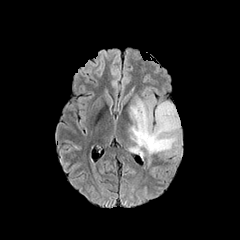
FLAIR magnetic resonance.
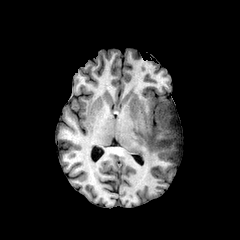
T1-weighted MR.
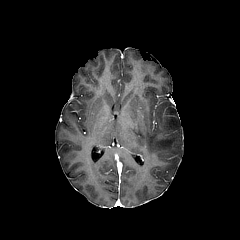
Post-contrast T1-weighted MRI.
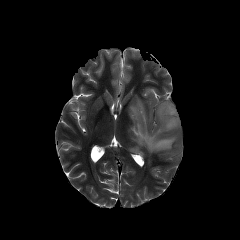
T2-weighted MRI of the same slice.
240x240 px, Brain
peritumoral edema: region(129, 98, 180, 156)